Image width 240 mm | 240x240 px | Axial view | Head
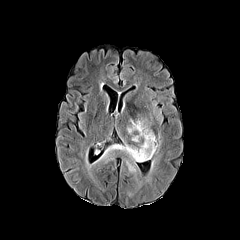
FLAIR MR.
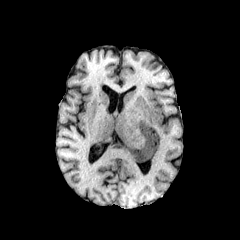
T1-weighted magnetic resonance of the same slice.
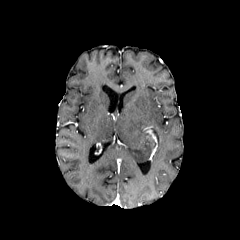
Post-contrast T1-weighted MR image.
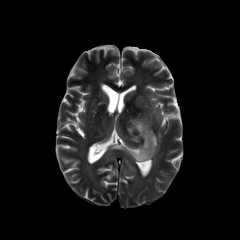
T2-weighted MRI of the same slice.
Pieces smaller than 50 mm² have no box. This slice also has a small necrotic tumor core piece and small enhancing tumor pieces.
peritumoral edema: [143,157,156,184], [125,159,136,173], [98,117,161,163]